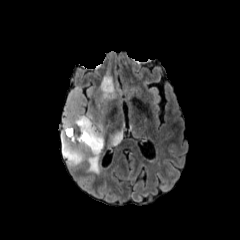
FLAIR MR.
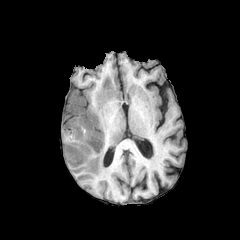
T1-weighted MRI.
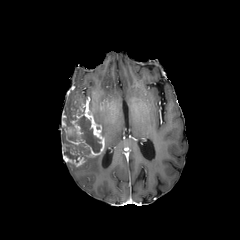
Same slice, post-contrast T1-weighted magnetic resonance.
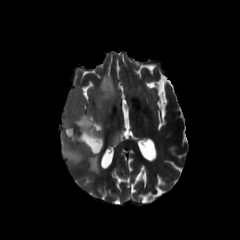
T2-weighted MR image.
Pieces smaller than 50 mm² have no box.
The 4 largest peritumoral edema regions are bounded by x1=84, y1=148, x2=106, y2=174; x1=86, y1=73, x2=119, y2=136; x1=64, y1=85, x2=83, y2=109; x1=108, y1=125, x2=124, y2=150. The enhancing tumor is located at x1=60, y1=95, x2=104, y2=166. The 3 largest necrotic tumor core regions appear at x1=65, y1=110, x2=76, y2=126; x1=63, y1=137, x2=78, y2=162; x1=76, y1=116, x2=101, y2=152.